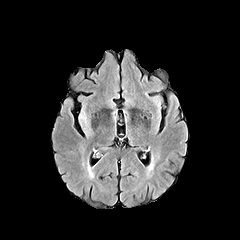
FLAIR MR.
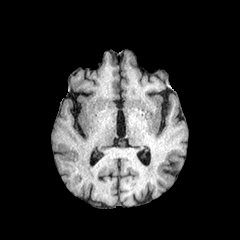
Same slice, T1-weighted MRI.
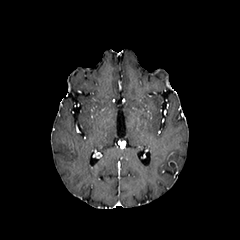
Same slice, post-contrast T1-weighted MR.
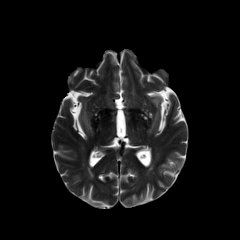
T2-weighted MRI of the same slice.
Brain, Axial view
The peritumoral edema is bounded by region(81, 115, 88, 126).